Slice 111/155
FLAIR magnetic resonance.
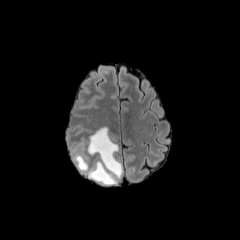
T1-weighted MR image.
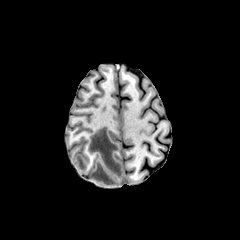
Post-contrast T1-weighted MRI.
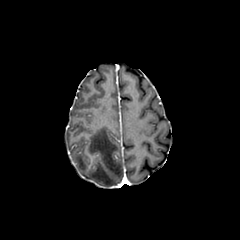
T2-weighted MRI.
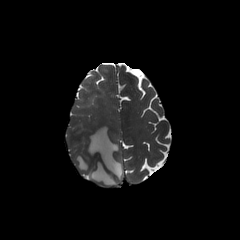
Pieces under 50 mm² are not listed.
{"peritumoral_edema": ["75 127 122 185"]}